Head; 240x240; Axial view; Slice 81 of 155
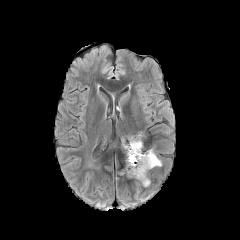
FLAIR MR image.
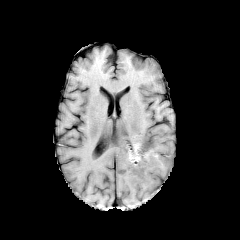
T1-weighted magnetic resonance.
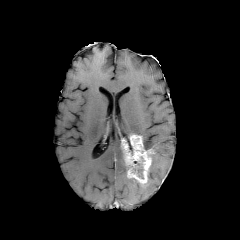
Post-contrast T1-weighted MR image.
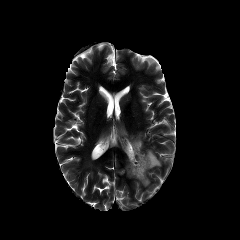
T2-weighted magnetic resonance.
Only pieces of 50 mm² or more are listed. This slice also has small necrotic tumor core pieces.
peritumoral edema: bounding box x1=149 y1=153 x2=161 y2=168
enhancing tumor: bounding box x1=121 y1=134 x2=153 y2=184